Head; Slice index 62; Image size 240x240; Image covers 240 mm x 240 mm
FLAIR MRI.
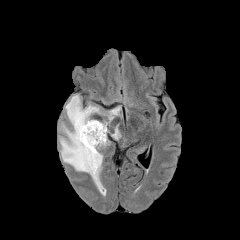
T1-weighted magnetic resonance.
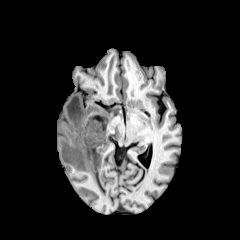
Post-contrast T1-weighted magnetic resonance.
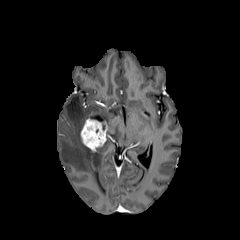
T2-weighted MR image.
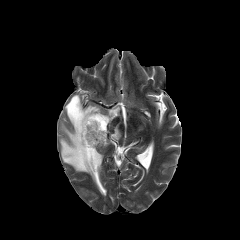
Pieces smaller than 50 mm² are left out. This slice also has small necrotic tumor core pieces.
<segmentation>
  <enhancing_tumor>(80,118,107,151)</enhancing_tumor>
  <peritumoral_edema>(106,108,119,121), (59,95,103,188), (112,126,120,139)</peritumoral_edema>
</segmentation>